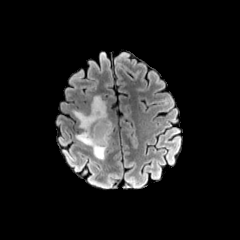
FLAIR magnetic resonance.
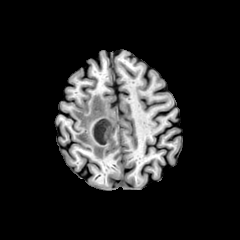
T1-weighted MRI.
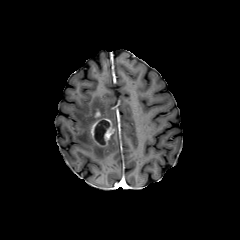
Post-contrast T1-weighted MR image.
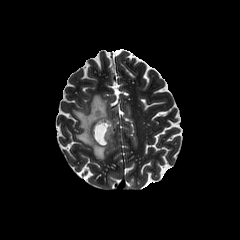
T2-weighted MR.
Image size 240x240 | Brain
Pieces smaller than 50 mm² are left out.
enhancing tumor: bounding box [x1=90, y1=109, x2=114, y2=146]
peritumoral edema: bounding box [x1=72, y1=95, x2=111, y2=159]
necrotic tumor core: bounding box [x1=94, y1=120, x2=109, y2=144]